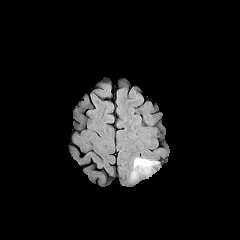
FLAIR magnetic resonance.
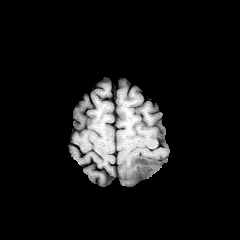
Same slice, T1-weighted magnetic resonance.
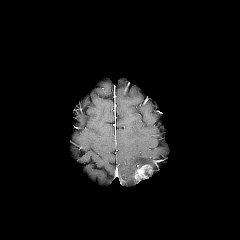
Post-contrast T1-weighted MR of the same slice.
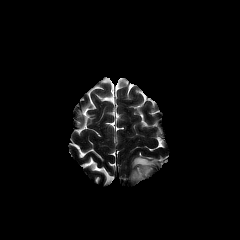
Same slice, T2-weighted MR.
Axial slice
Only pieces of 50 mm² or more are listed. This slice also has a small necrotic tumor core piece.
peritumoral edema = region(131, 157, 155, 180)
enhancing tumor = region(133, 164, 151, 180)